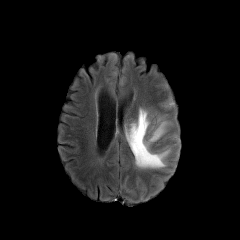
FLAIR MRI.
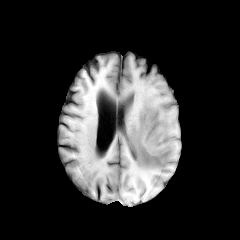
Same slice, T1-weighted MRI.
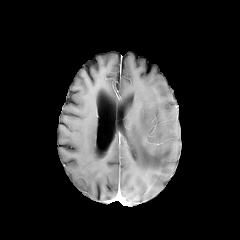
Same slice, post-contrast T1-weighted MR.
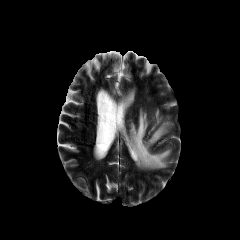
T2-weighted MR.
The peritumoral edema appears at left=125, top=109, right=170, bottom=168.